Axial view
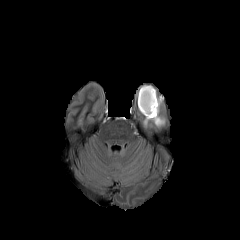
FLAIR MR image.
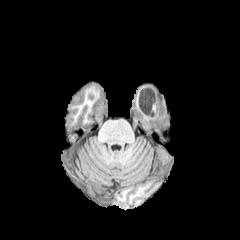
Same slice, T1-weighted magnetic resonance.
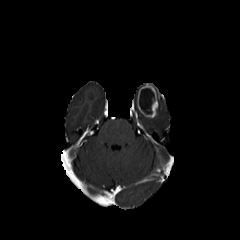
Post-contrast T1-weighted magnetic resonance.
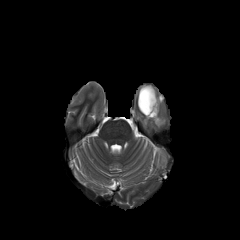
Same slice, T2-weighted MR.
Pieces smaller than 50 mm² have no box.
enhancing tumor at region(137, 84, 158, 117)
peritumoral edema at region(143, 95, 165, 127)
necrotic tumor core at region(139, 88, 154, 114)